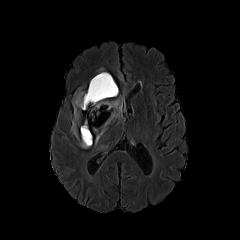
FLAIR magnetic resonance.
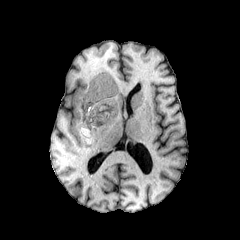
T1-weighted magnetic resonance of the same slice.
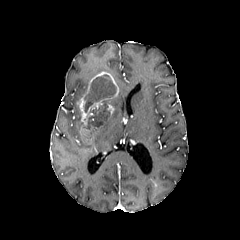
Post-contrast T1-weighted magnetic resonance.
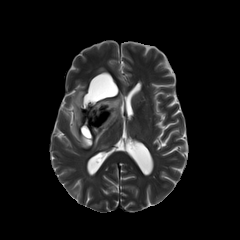
T2-weighted magnetic resonance of the same slice.
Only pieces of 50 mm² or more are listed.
{
  "enhancing_tumor": [
    "[77, 71, 118, 128]",
    "[89, 100, 102, 110]"
  ],
  "necrotic_tumor_core": [
    "[84, 74, 116, 125]"
  ],
  "peritumoral_edema": [
    "[71, 91, 86, 137]",
    "[80, 124, 92, 147]",
    "[94, 96, 124, 146]"
  ]
}